FLAIR magnetic resonance.
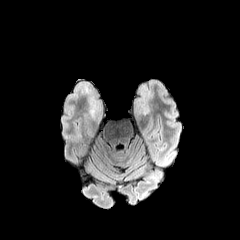
T1-weighted MR.
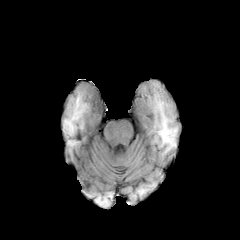
Post-contrast T1-weighted MRI.
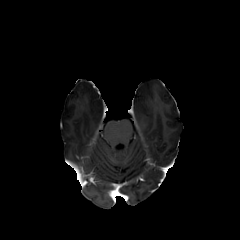
T2-weighted magnetic resonance.
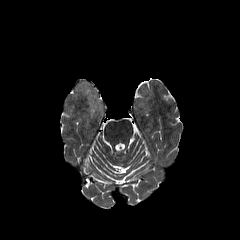
Head.
2 peritumoral edema regions appear at box=[134, 87, 148, 111]; box=[76, 83, 101, 117].